Axial slice; Image size 240x240
FLAIR MRI.
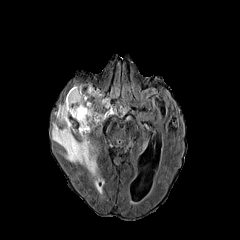
T1-weighted MRI.
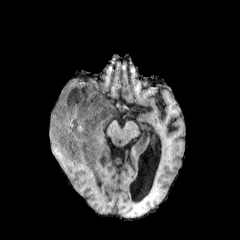
Post-contrast T1-weighted MR.
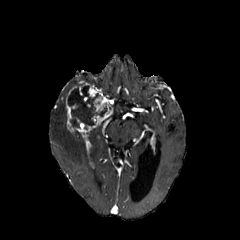
T2-weighted magnetic resonance.
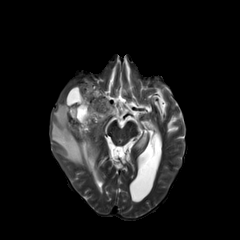
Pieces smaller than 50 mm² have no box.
The largest enhancing tumor region lies within (x1=66, y1=83, x2=113, y2=153). The largest necrotic tumor core region appears at (x1=68, y1=85, x2=106, y2=129). The largest peritumoral edema region appears at (x1=51, y1=99, x2=98, y2=182).